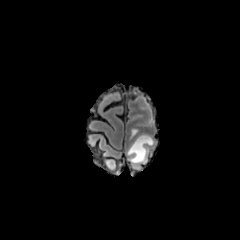
FLAIR MRI.
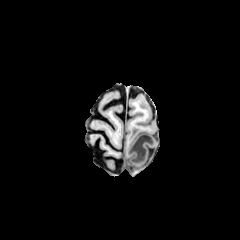
Same slice, T1-weighted magnetic resonance.
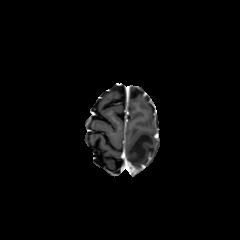
Post-contrast T1-weighted magnetic resonance of the same slice.
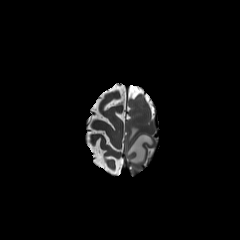
T2-weighted MR image.
Brain, 240x240, Axial view
2 peritumoral edema regions appear at <box>127,134,154,165</box>, <box>130,128,137,138</box>.